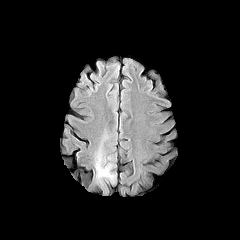
FLAIR MRI.
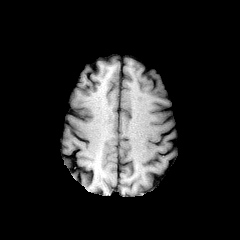
T1-weighted MR.
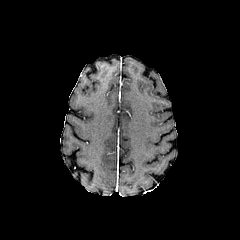
Post-contrast T1-weighted magnetic resonance of the same slice.
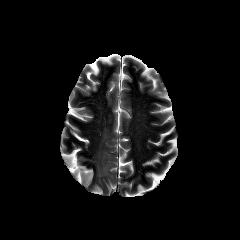
T2-weighted magnetic resonance.
The peritumoral edema is bounded by <box>96,159,112,177</box>.